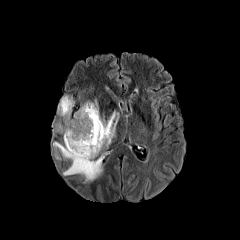
FLAIR MR image.
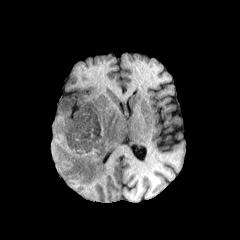
T1-weighted MR.
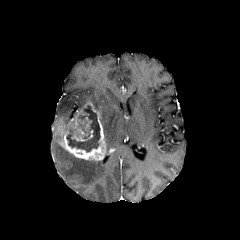
Post-contrast T1-weighted MRI.
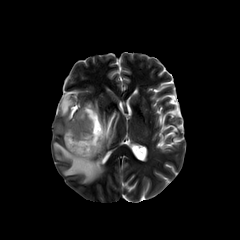
Same slice, T2-weighted MR image.
Brain.
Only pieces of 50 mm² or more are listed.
peritumoral edema at (left=53, top=142, right=103, bottom=183), (left=100, top=111, right=119, bottom=147), (left=57, top=96, right=74, bottom=123)
enhancing tumor at (left=57, top=101, right=106, bottom=160)
necrotic tumor core at (left=66, top=105, right=100, bottom=152)